FLAIR MRI.
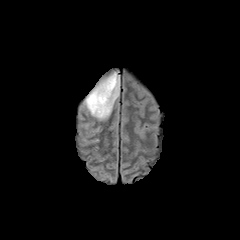
T1-weighted magnetic resonance.
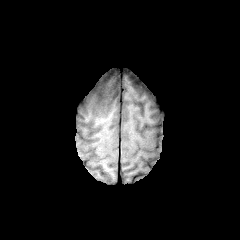
Post-contrast T1-weighted MRI.
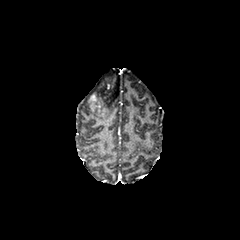
T2-weighted MR image.
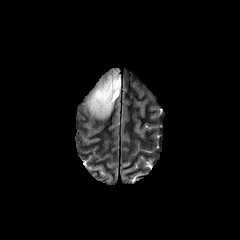
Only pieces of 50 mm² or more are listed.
peritumoral edema = {"x1": 86, "y1": 72, "x2": 119, "y2": 119}
enhancing tumor = {"x1": 89, "y1": 91, "x2": 105, "y2": 110}